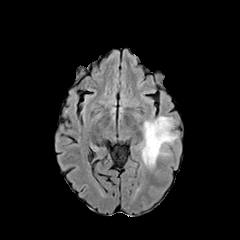
FLAIR MR image.
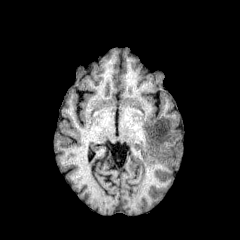
T1-weighted MR image.
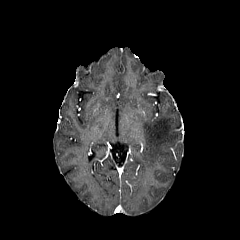
Same slice, post-contrast T1-weighted MR image.
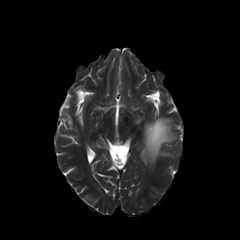
T2-weighted MRI.
Axial plane, Brain
The peritumoral edema is at <box>142,116,177,167</box>.